Head. 240x240 px.
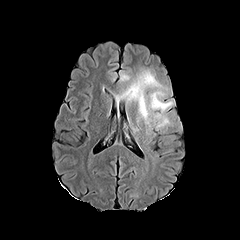
FLAIR MR image.
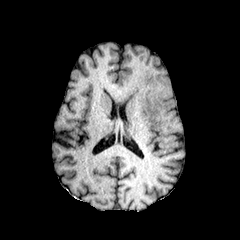
T1-weighted MRI.
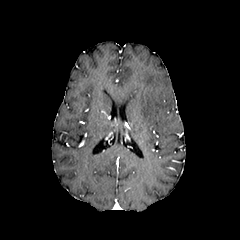
Post-contrast T1-weighted MR image.
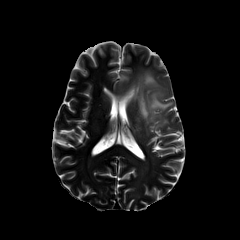
Same slice, T2-weighted MR image.
peritumoral edema at [116, 70, 172, 127], [120, 74, 129, 81]